Brain, Slice 45 of 155, 240x240 px, Axial slice
FLAIR magnetic resonance.
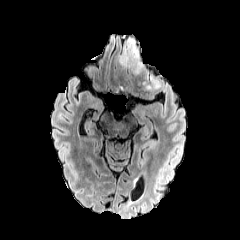
T1-weighted magnetic resonance.
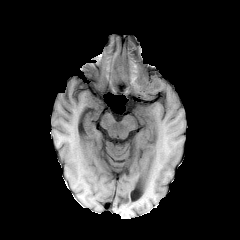
Post-contrast T1-weighted magnetic resonance.
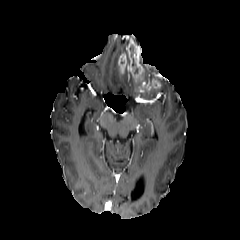
T2-weighted MRI.
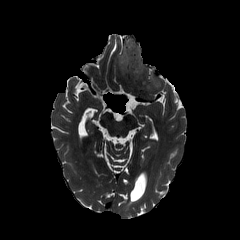
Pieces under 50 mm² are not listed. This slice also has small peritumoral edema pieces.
2 enhancing tumor regions are bounded by rect(139, 79, 160, 92); rect(118, 38, 144, 80). The largest necrotic tumor core region appears at rect(131, 53, 140, 73).